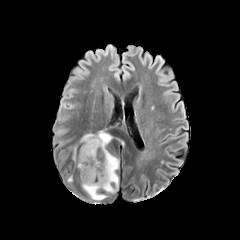
FLAIR MR image.
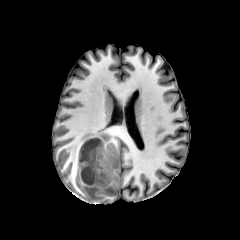
Same slice, T1-weighted MR image.
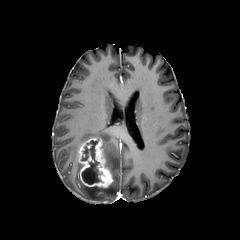
Post-contrast T1-weighted MR of the same slice.
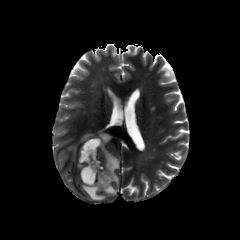
T2-weighted MRI.
Head.
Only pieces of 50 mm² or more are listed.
The largest enhancing tumor region is bounded by left=78, top=138, right=113, bottom=187. The 2 largest peritumoral edema regions are located at left=80, top=131, right=119, bottom=200; left=68, top=145, right=77, bottom=161. The necrotic tumor core is bounded by left=81, top=140, right=100, bottom=184.